Brain; Image size 240x240
FLAIR MR.
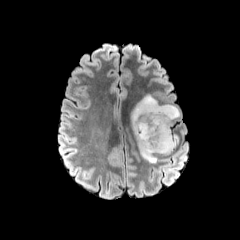
T1-weighted MRI.
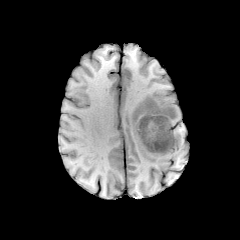
Post-contrast T1-weighted magnetic resonance.
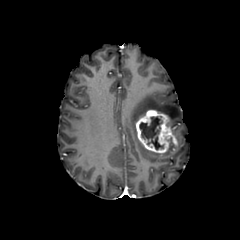
T2-weighted magnetic resonance.
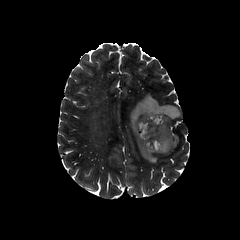
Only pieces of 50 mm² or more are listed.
The 2 largest necrotic tumor core regions are located at 165,135,173,146; 139,115,164,150. The enhancing tumor lies within 136,109,177,153. The 2 largest peritumoral edema regions are located at 130,94,180,163; 160,146,175,155.